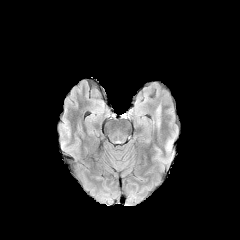
FLAIR MRI.
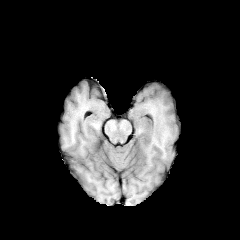
T1-weighted magnetic resonance.
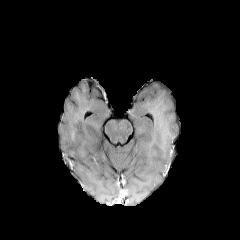
Post-contrast T1-weighted MRI.
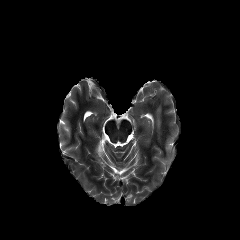
T2-weighted magnetic resonance.
Brain | Axial slice
- peritumoral edema: 156, 106, 160, 126